FLAIR magnetic resonance.
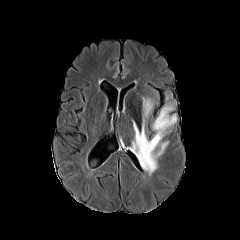
T1-weighted MR image.
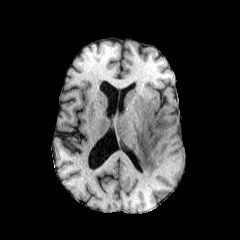
Post-contrast T1-weighted MR.
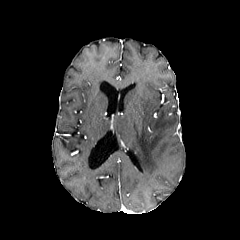
T2-weighted MR image.
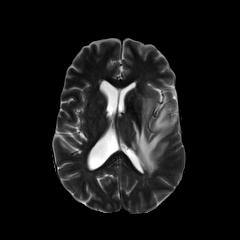
Brain, Axial view, 240x240
The peritumoral edema is located at bbox(130, 97, 177, 174).